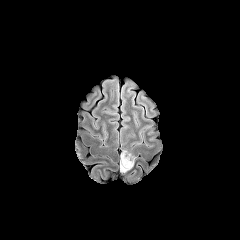
FLAIR MRI.
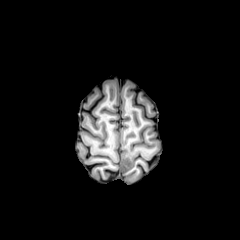
T1-weighted magnetic resonance.
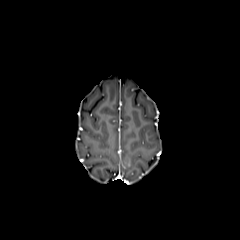
Same slice, post-contrast T1-weighted MR.
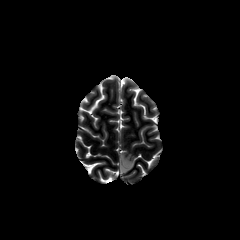
Same slice, T2-weighted MR image.
Axial view. Image size 240x240.
The peritumoral edema is bounded by {"x1": 120, "y1": 149, "x2": 136, "y2": 172}. The enhancing tumor is bounded by {"x1": 123, "y1": 152, "x2": 130, "y2": 166}.